FLAIR MR image.
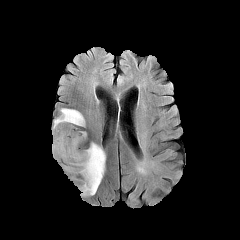
T1-weighted MRI.
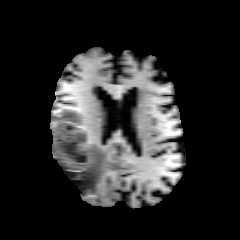
Post-contrast T1-weighted MR image.
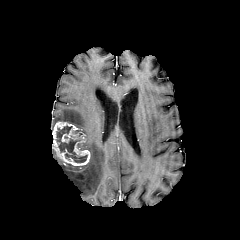
T2-weighted MR image.
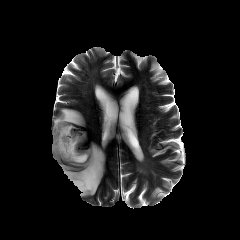
Brain.
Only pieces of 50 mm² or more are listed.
Annotated regions:
* necrotic tumor core: rect(57, 126, 87, 162)
* peritumoral edema: rect(62, 142, 105, 196); rect(52, 108, 85, 129)
* enhancing tumor: rect(52, 121, 90, 165)